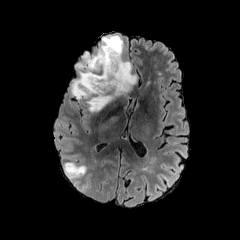
FLAIR MRI.
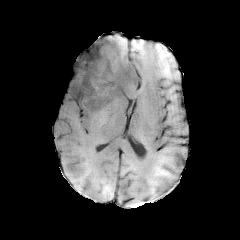
T1-weighted MR.
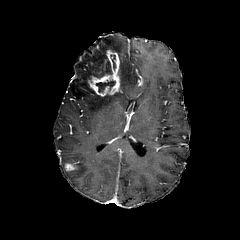
Post-contrast T1-weighted magnetic resonance of the same slice.
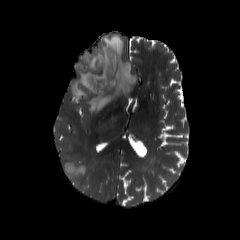
T2-weighted MR.
Head, Axial slice
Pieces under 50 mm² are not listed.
enhancing_tumor:
  - left=80, top=49, right=122, bottom=96
necrotic_tumor_core:
  - left=96, top=81, right=115, bottom=92
peritumoral_edema:
  - left=64, top=162, right=85, bottom=176
  - left=70, top=35, right=136, bottom=112